FLAIR MR.
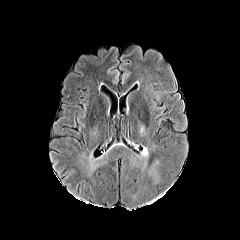
T1-weighted MRI.
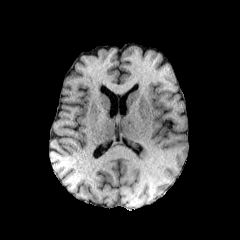
Post-contrast T1-weighted MR.
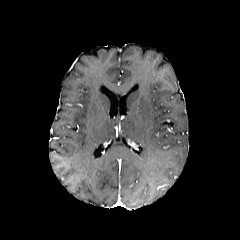
T2-weighted MRI.
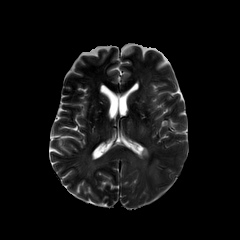
Head
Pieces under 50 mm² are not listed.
peritumoral edema: bounding box [141, 147, 148, 157]